FLAIR MR.
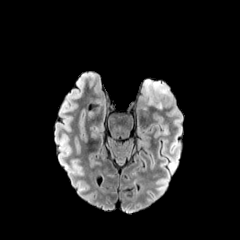
T1-weighted MRI.
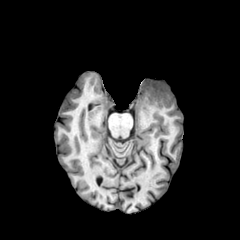
Post-contrast T1-weighted magnetic resonance.
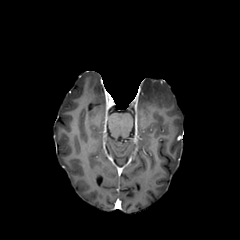
T2-weighted MR.
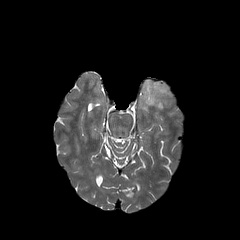
Head
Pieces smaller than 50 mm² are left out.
peritumoral edema: 141 79 169 109